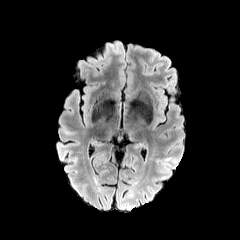
FLAIR magnetic resonance.
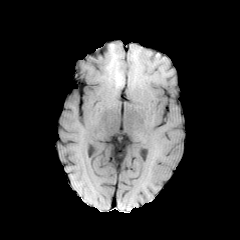
T1-weighted magnetic resonance.
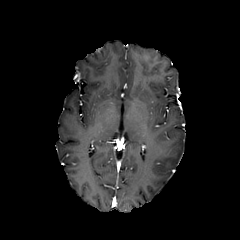
Post-contrast T1-weighted MR.
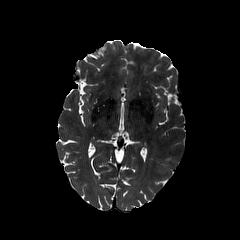
Same slice, T2-weighted MRI.
Axial view
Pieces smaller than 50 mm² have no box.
peritumoral edema — l=162, t=157, r=172, b=165